FLAIR magnetic resonance.
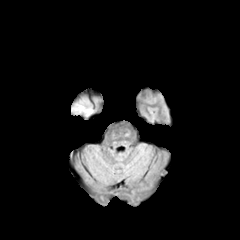
T1-weighted magnetic resonance.
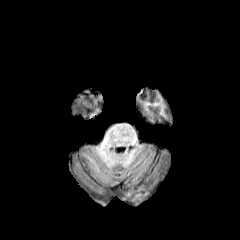
Post-contrast T1-weighted MR image.
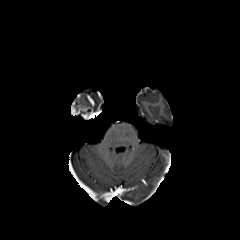
T2-weighted magnetic resonance.
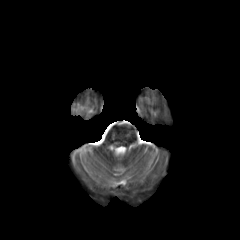
Head
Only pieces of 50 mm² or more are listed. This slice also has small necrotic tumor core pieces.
Findings:
- enhancing tumor: bbox(71, 102, 92, 118)